FLAIR MRI.
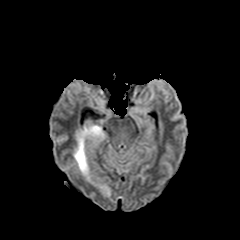
T1-weighted MR.
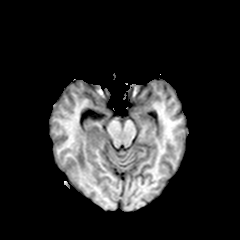
Post-contrast T1-weighted MRI.
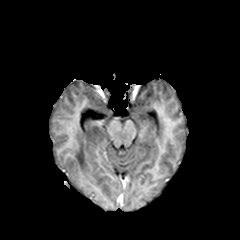
T2-weighted MRI.
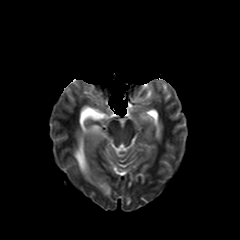
Axial slice. 240x240.
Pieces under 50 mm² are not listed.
Segmented structures:
- peritumoral edema: (x1=74, y1=125, x2=104, y2=180)